Axial plane
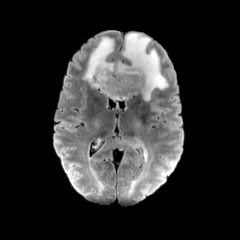
FLAIR MR image.
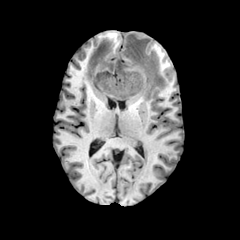
T1-weighted magnetic resonance.
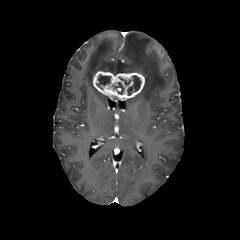
Same slice, post-contrast T1-weighted magnetic resonance.
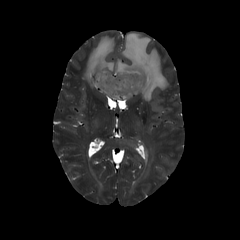
T2-weighted MR.
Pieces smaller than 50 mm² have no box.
Findings:
• peritumoral edema: <bbox>130, 148, 151, 193</bbox>, <bbox>84, 33, 171, 119</bbox>, <bbox>106, 137, 132, 147</bbox>
• enhancing tumor: <bbox>93, 71, 144, 100</bbox>
• necrotic tumor core: <bbox>127, 75, 141, 94</bbox>, <bbox>114, 82, 123, 94</bbox>, <bbox>96, 75, 110, 89</bbox>